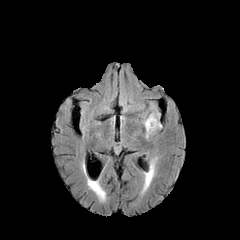
FLAIR MRI.
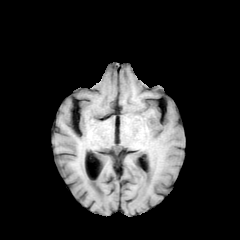
T1-weighted MRI of the same slice.
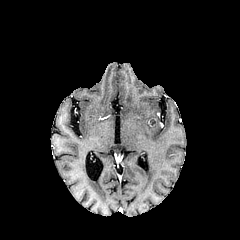
Post-contrast T1-weighted magnetic resonance of the same slice.
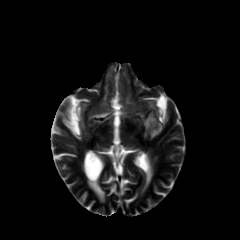
Same slice, T2-weighted MRI.
Axial slice.
peritumoral_edema:
  - <bbox>144, 114, 162, 131</bbox>